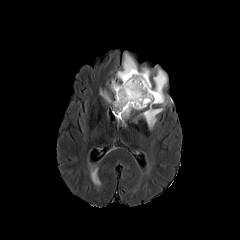
FLAIR MR image.
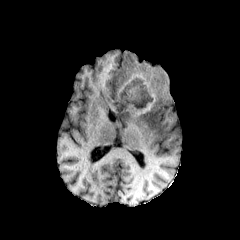
T1-weighted MR image of the same slice.
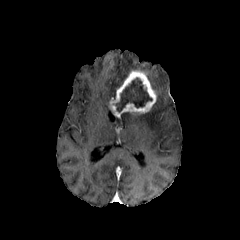
Same slice, post-contrast T1-weighted magnetic resonance.
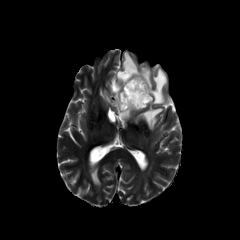
T2-weighted MR image of the same slice.
Image size 240x240; Axial plane; Head
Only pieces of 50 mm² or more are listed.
Annotated regions:
• necrotic tumor core: [116,78,152,111]
• enhancing tumor: [109,69,156,117]
• peritumoral edema: [121,112,133,123], [100,90,110,102], [134,68,171,129], [110,52,138,96], [141,67,151,85]